FLAIR magnetic resonance.
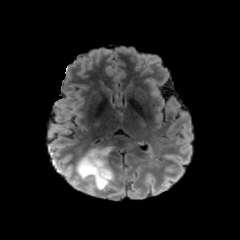
T1-weighted MR.
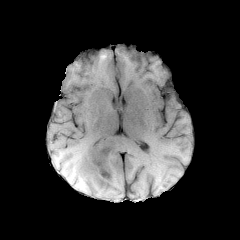
Post-contrast T1-weighted MRI.
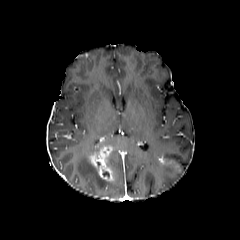
T2-weighted MRI.
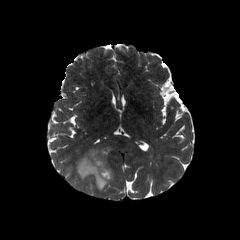
Axial slice
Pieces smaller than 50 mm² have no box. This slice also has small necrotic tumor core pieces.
Findings:
• peritumoral edema: (75, 146, 114, 190)
• enhancing tumor: (90, 148, 113, 181)